Head.
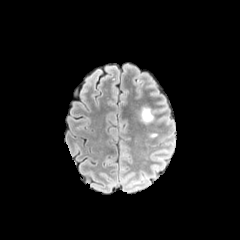
FLAIR magnetic resonance.
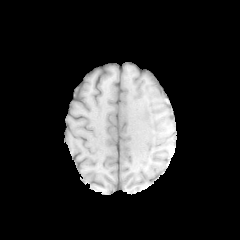
T1-weighted magnetic resonance.
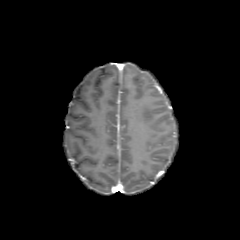
Post-contrast T1-weighted magnetic resonance.
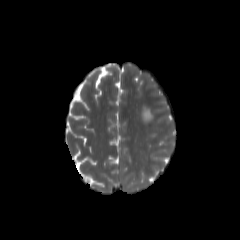
Same slice, T2-weighted MR image.
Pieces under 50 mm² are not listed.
peritumoral edema — [141,107,153,123]